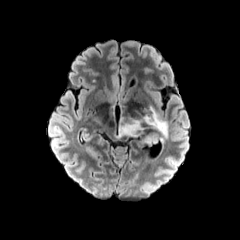
FLAIR MRI.
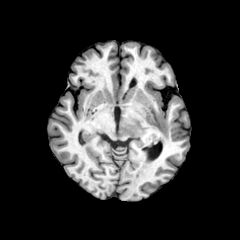
Same slice, T1-weighted MRI.
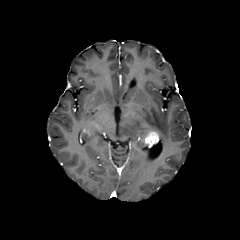
Post-contrast T1-weighted MR.
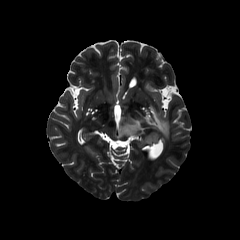
T2-weighted MR image.
Brain.
The enhancing tumor appears at bbox(144, 131, 158, 146). The peritumoral edema is at bbox(117, 106, 168, 141).